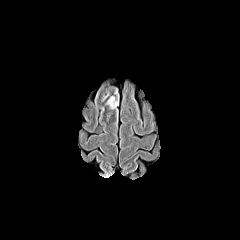
FLAIR MRI.
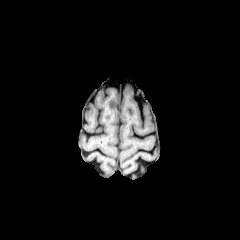
T1-weighted MR image.
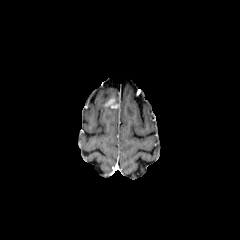
Post-contrast T1-weighted MR image.
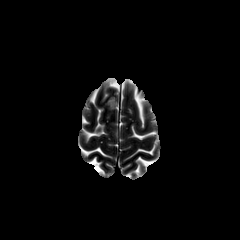
Same slice, T2-weighted magnetic resonance.
Brain. Axial plane.
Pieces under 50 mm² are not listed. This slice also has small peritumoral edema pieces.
enhancing_tumor:
  - bbox=[105, 98, 118, 109]